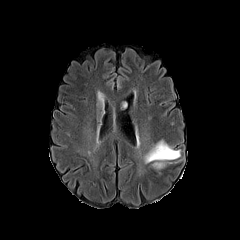
FLAIR MRI.
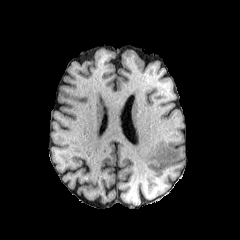
Same slice, T1-weighted MR image.
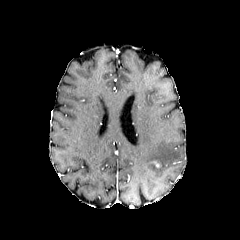
Same slice, post-contrast T1-weighted magnetic resonance.
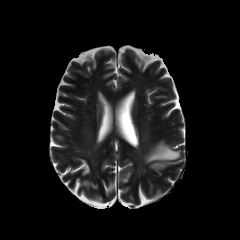
T2-weighted MRI.
Head. 240x240.
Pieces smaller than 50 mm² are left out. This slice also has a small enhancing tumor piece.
peritumoral edema = [144,140,180,169]